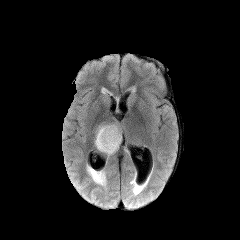
FLAIR MR.
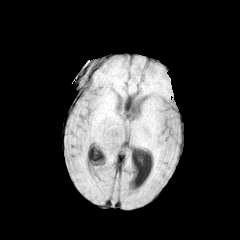
Same slice, T1-weighted MR.
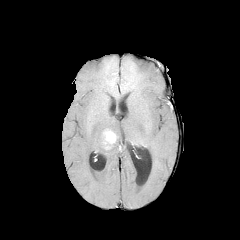
Post-contrast T1-weighted MR.
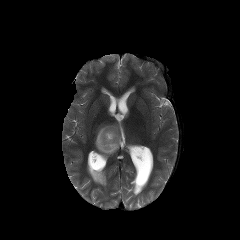
Same slice, T2-weighted MR.
Head
peritumoral edema: box(95, 124, 121, 156) | enhancing tumor: box(102, 129, 117, 149)